Image width 240 mm, 1.00 mm slice spacing. Slice index 91. 240x240. Head.
FLAIR MR image.
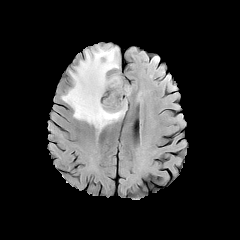
T1-weighted MR.
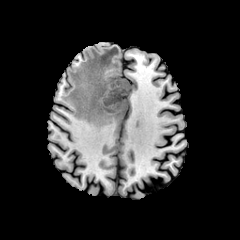
Post-contrast T1-weighted magnetic resonance.
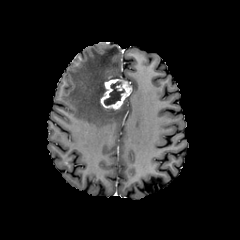
T2-weighted MR image.
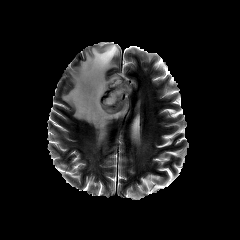
- necrotic tumor core: box(104, 82, 124, 105)
- peritumoral edema: box(61, 45, 127, 132)
- enhancing tumor: box(100, 79, 131, 109)